Axial plane. Image width 240 mm, 1.00 mm slice spacing. Brain.
FLAIR MR.
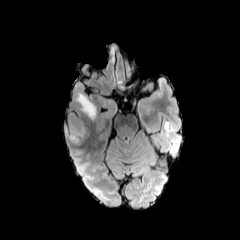
T1-weighted MRI.
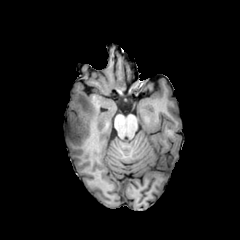
Post-contrast T1-weighted magnetic resonance.
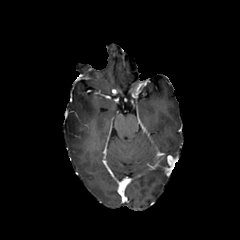
T2-weighted MR image.
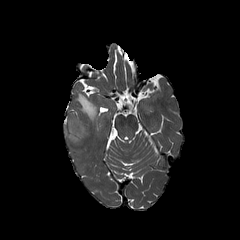
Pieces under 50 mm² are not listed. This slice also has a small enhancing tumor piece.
2 peritumoral edema regions are bounded by {"x1": 75, "y1": 93, "x2": 96, "y2": 119}, {"x1": 64, "y1": 117, "x2": 86, "y2": 143}.